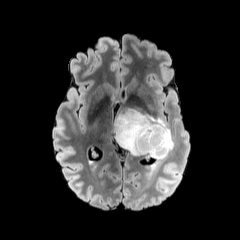
FLAIR magnetic resonance.
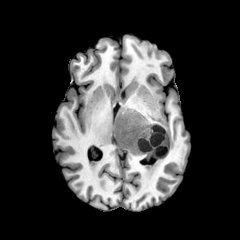
Same slice, T1-weighted MR.
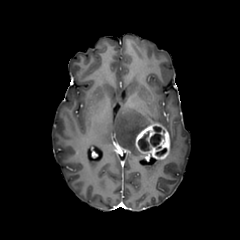
Post-contrast T1-weighted MRI.
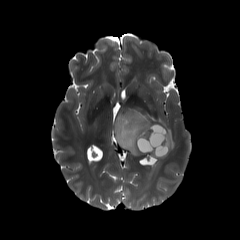
T2-weighted magnetic resonance.
Head; 240x240 px
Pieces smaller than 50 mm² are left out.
{
  "enhancing_tumor": [
    {"x1": 135, "y1": 123, "x2": 170, "y2": 159}
  ],
  "peritumoral_edema": [
    {"x1": 150, "y1": 160, "x2": 163, "y2": 169},
    {"x1": 114, "y1": 109, "x2": 174, "y2": 155}
  ],
  "necrotic_tumor_core": [
    {"x1": 138, "y1": 131, "x2": 150, "y2": 151},
    {"x1": 155, "y1": 148, "x2": 166, "y2": 156},
    {"x1": 150, "y1": 126, "x2": 163, "y2": 146}
  ]
}